FLAIR MR.
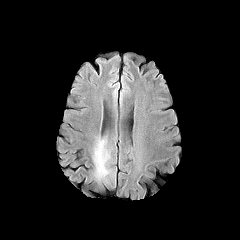
T1-weighted magnetic resonance.
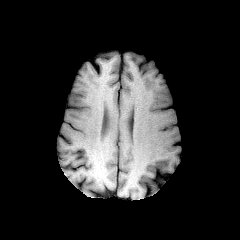
Post-contrast T1-weighted magnetic resonance.
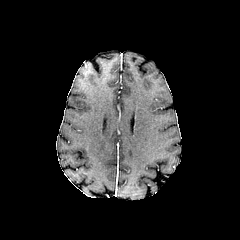
T2-weighted MRI.
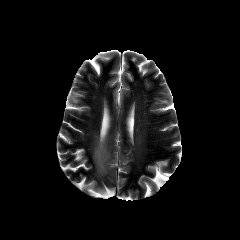
240x240
The peritumoral edema appears at (94,146,108,177).